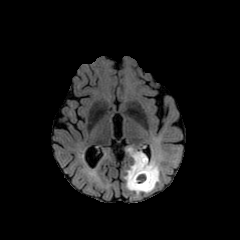
FLAIR MR.
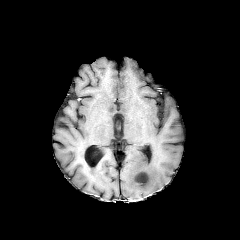
Same slice, T1-weighted magnetic resonance.
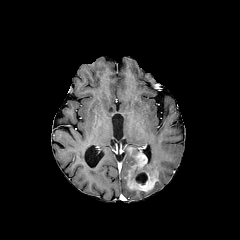
Post-contrast T1-weighted MR image.
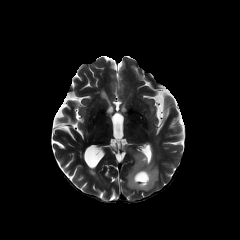
T2-weighted magnetic resonance of the same slice.
Head | Axial plane
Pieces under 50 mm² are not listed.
<segmentation>
  <necrotic_tumor_core><bbox>135, 172, 147, 184</bbox></necrotic_tumor_core>
  <enhancing_tumor><bbox>127, 152, 157, 191</bbox></enhancing_tumor>
  <peritumoral_edema><bbox>126, 147, 141, 164</bbox>, <bbox>125, 161, 159, 194</bbox></peritumoral_edema>
</segmentation>